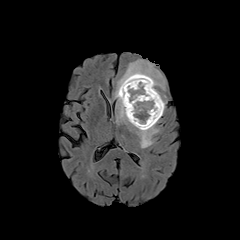
FLAIR MR image.
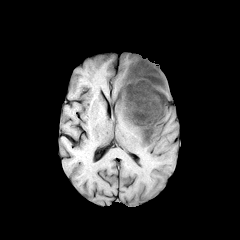
T1-weighted MRI.
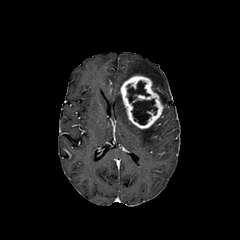
Same slice, post-contrast T1-weighted MRI.
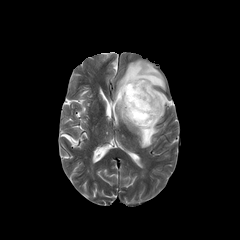
T2-weighted MRI of the same slice.
Head, Axial view
enhancing_tumor:
  - box(119, 75, 163, 129)
necrotic_tumor_core:
  - box(131, 99, 157, 124)
  - box(127, 81, 149, 102)
peritumoral_edema:
  - box(109, 59, 166, 148)